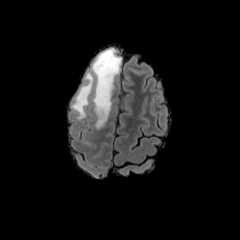
FLAIR MRI.
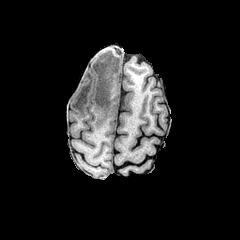
T1-weighted MR.
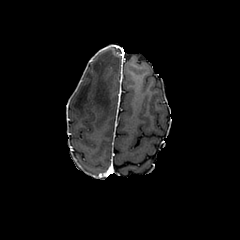
Post-contrast T1-weighted magnetic resonance.
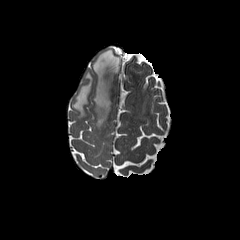
Same slice, T2-weighted MRI.
Image size 240x240
2 peritumoral edema regions appear at 92, 47, 121, 128; 72, 72, 93, 119.